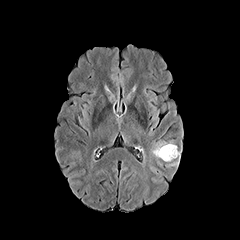
FLAIR MR.
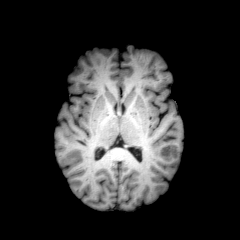
Same slice, T1-weighted MR image.
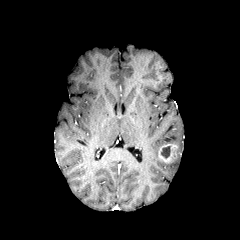
Post-contrast T1-weighted MRI.
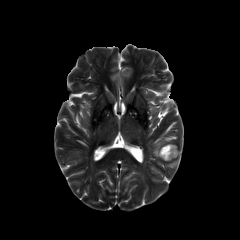
Same slice, T2-weighted MR.
240x240; Brain
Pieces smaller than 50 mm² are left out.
The enhancing tumor appears at (158,143,177,162). The largest necrotic tumor core region appears at (161,146,170,158). The largest peritumoral edema region is bounded by (153,142,166,157).